240x240 | Brain
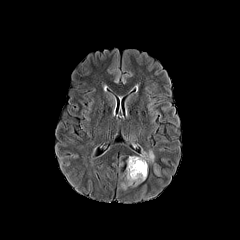
FLAIR MRI.
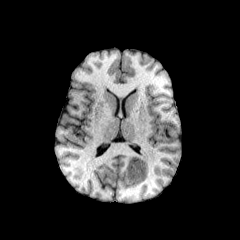
Same slice, T1-weighted MRI.
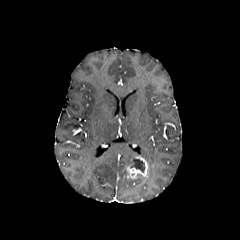
Post-contrast T1-weighted magnetic resonance.
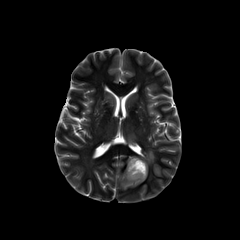
T2-weighted MR image.
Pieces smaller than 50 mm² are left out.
enhancing tumor: (left=126, top=156, right=148, bottom=179) | necrotic tumor core: (left=131, top=158, right=144, bottom=172) | peritumoral edema: (left=121, top=174, right=146, bottom=189), (left=140, top=150, right=154, bottom=163)